FLAIR magnetic resonance.
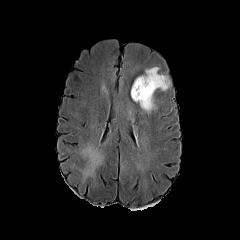
T1-weighted MRI.
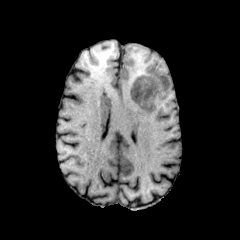
Post-contrast T1-weighted magnetic resonance.
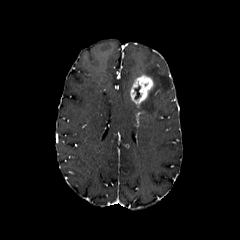
T2-weighted MRI.
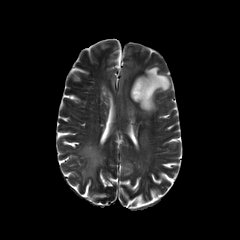
Axial slice.
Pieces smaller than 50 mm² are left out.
<segmentation>
  <enhancing_tumor>[130,75,153,104]</enhancing_tumor>
  <peritumoral_edema>[139,67,170,113]</peritumoral_edema>
  <necrotic_tumor_core>[135,86,140,99]</necrotic_tumor_core>
</segmentation>